FLAIR magnetic resonance.
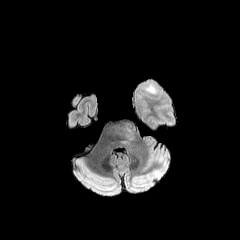
T1-weighted MR image.
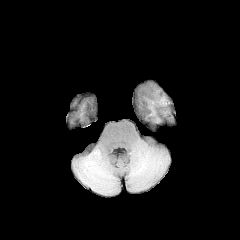
Post-contrast T1-weighted magnetic resonance.
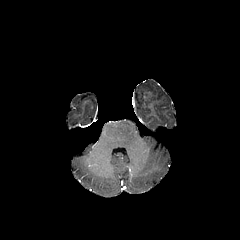
T2-weighted magnetic resonance.
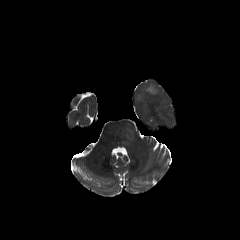
Axial view
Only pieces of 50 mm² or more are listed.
{"peritumoral_edema": ["bbox(121, 122, 134, 141)"]}